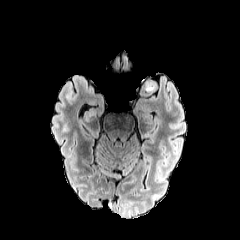
FLAIR magnetic resonance.
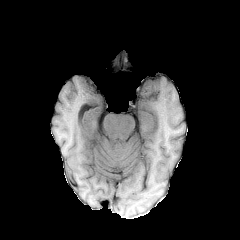
T1-weighted MRI of the same slice.
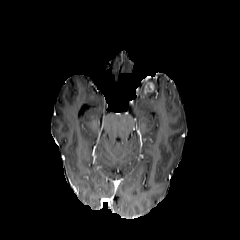
Post-contrast T1-weighted MR image of the same slice.
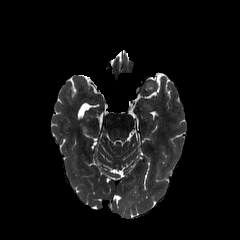
Same slice, T2-weighted magnetic resonance.
Image size 240x240
The enhancing tumor appears at {"x1": 143, "y1": 82, "x2": 153, "y2": 93}.